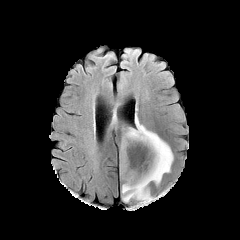
FLAIR magnetic resonance.
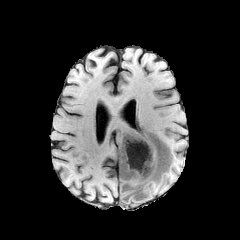
T1-weighted magnetic resonance.
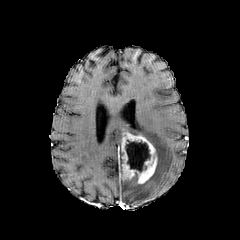
Same slice, post-contrast T1-weighted magnetic resonance.
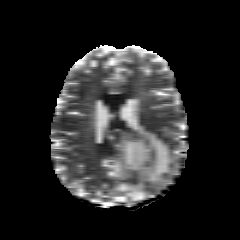
Same slice, T2-weighted MR.
Axial slice
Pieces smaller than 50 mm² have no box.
enhancing tumor: bounding box (120, 131, 157, 183)
necrotic tumor core: bounding box (125, 140, 150, 172)
peritumoral edema: bounding box (121, 117, 173, 202)